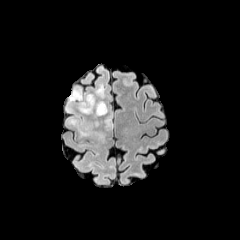
FLAIR magnetic resonance.
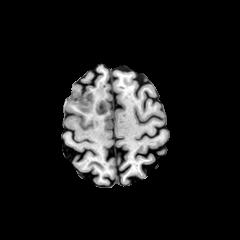
T1-weighted magnetic resonance.
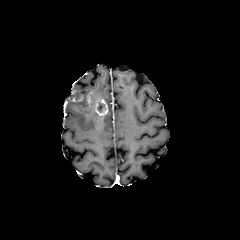
Same slice, post-contrast T1-weighted magnetic resonance.
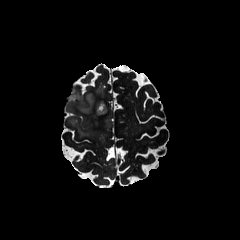
T2-weighted magnetic resonance of the same slice.
240x240 px | Axial slice
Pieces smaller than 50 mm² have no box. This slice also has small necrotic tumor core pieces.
{"enhancing_tumor": ["(69, 91, 83, 101)", "(86, 92, 108, 116)"], "peritumoral_edema": ["(68, 93, 93, 114)", "(91, 85, 104, 99)", "(69, 119, 105, 144)", "(104, 105, 112, 129)"]}